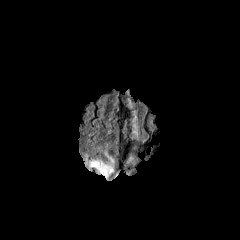
FLAIR MR.
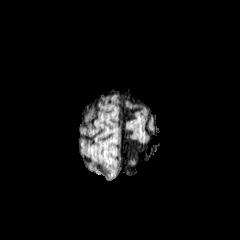
Same slice, T1-weighted magnetic resonance.
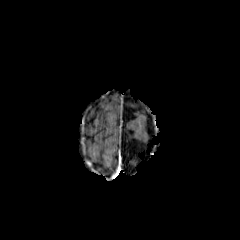
Same slice, post-contrast T1-weighted magnetic resonance.
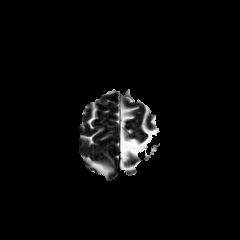
T2-weighted magnetic resonance of the same slice.
240x240 px | Axial view
{"peritumoral_edema": ["91:158:113:176"]}